FLAIR MR.
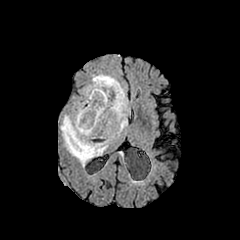
T1-weighted magnetic resonance.
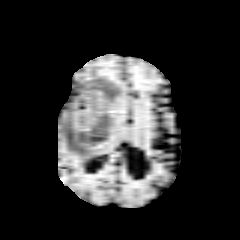
Post-contrast T1-weighted MR.
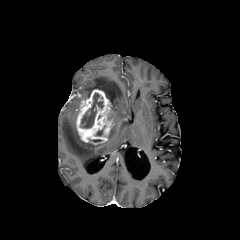
T2-weighted magnetic resonance.
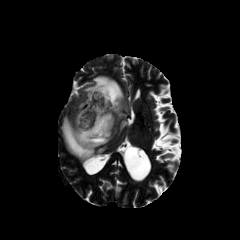
Head, Axial view
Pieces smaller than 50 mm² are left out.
The enhancing tumor appears at left=76, top=89, right=114, bottom=144. The largest peritumoral edema region is bounded by left=61, top=75, right=130, bottom=166. The largest necrotic tumor core region is bounded by left=81, top=93, right=103, bottom=128.